Image covers 240 mm x 240 mm, Brain
FLAIR magnetic resonance.
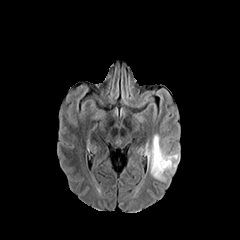
T1-weighted MRI.
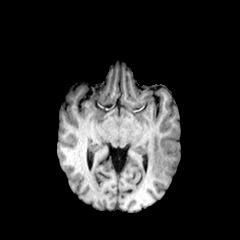
Post-contrast T1-weighted magnetic resonance.
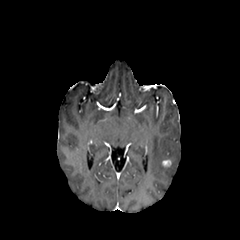
T2-weighted MR image.
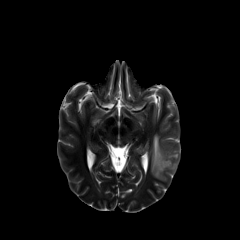
<segmentation>
  <peritumoral_edema>x1=149 y1=134 x2=179 y2=181</peritumoral_edema>
  <enhancing_tumor>x1=162 y1=160 x2=171 y2=167</enhancing_tumor>
</segmentation>